Axial view. Brain. Slice 70/155. Image covers 240 mm x 240 mm.
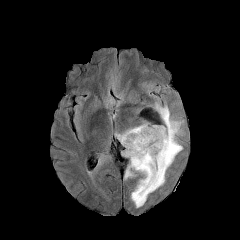
FLAIR MRI.
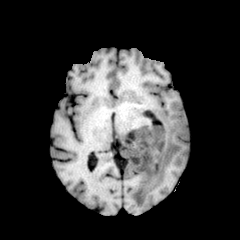
Same slice, T1-weighted MR.
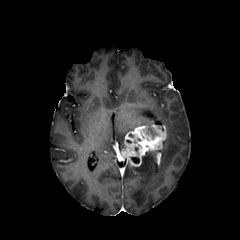
Same slice, post-contrast T1-weighted MRI.
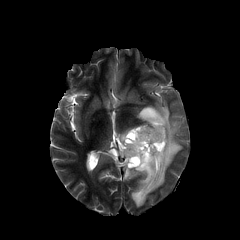
T2-weighted MR image of the same slice.
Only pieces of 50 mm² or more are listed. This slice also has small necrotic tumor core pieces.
The 2 largest peritumoral edema regions appear at (116,127,135,146), (124,103,182,207). 2 enhancing tumor regions are located at (121,124,166,166), (155,152,161,165).